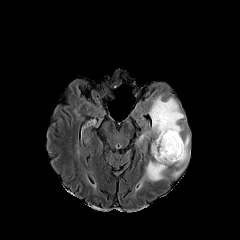
FLAIR MR.
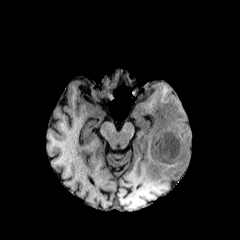
T1-weighted MRI.
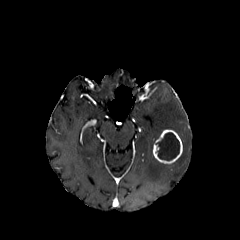
Post-contrast T1-weighted MRI of the same slice.
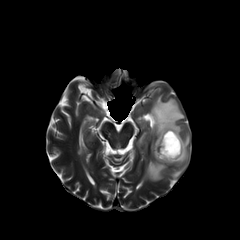
T2-weighted magnetic resonance.
Brain
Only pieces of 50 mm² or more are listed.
Annotated regions:
* necrotic tumor core: x1=156, y1=132, x2=179, y2=160
* enhancing tumor: x1=153, y1=129, x2=182, y2=163
* peritumoral edema: x1=137, y1=95, x2=184, y2=144; x1=139, y1=133, x2=190, y2=187